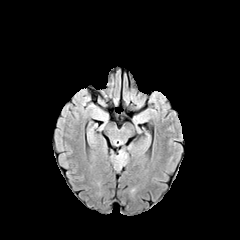
FLAIR MRI.
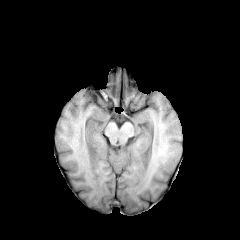
T1-weighted MR.
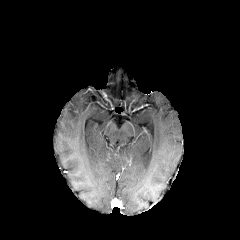
Post-contrast T1-weighted magnetic resonance.
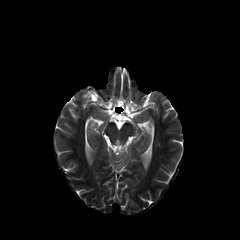
T2-weighted MR.
Axial view.
The peritumoral edema lies within box=[117, 151, 126, 166].